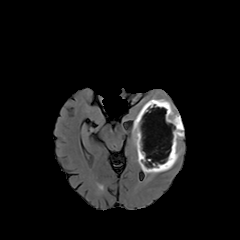
FLAIR MR image.
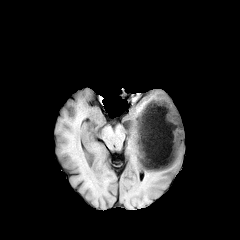
T1-weighted MR image of the same slice.
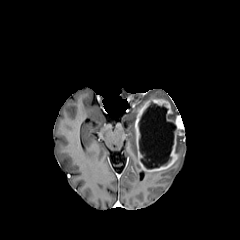
Post-contrast T1-weighted magnetic resonance.
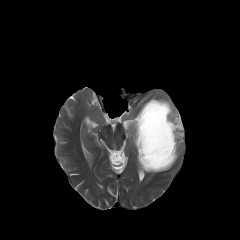
T2-weighted MR image.
240x240
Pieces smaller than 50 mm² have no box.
peritumoral edema = region(176, 137, 183, 156); region(150, 97, 179, 114); region(132, 117, 136, 151); region(143, 164, 173, 174)
necrotic tumor core = region(138, 101, 176, 168)
enhancing tumor = region(134, 99, 184, 171)